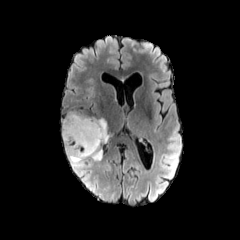
FLAIR magnetic resonance.
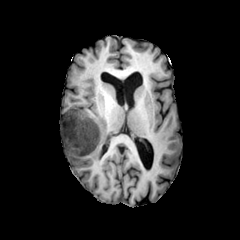
T1-weighted MR.
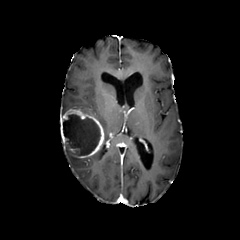
Same slice, post-contrast T1-weighted magnetic resonance.
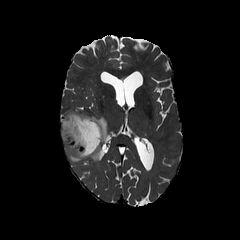
T2-weighted magnetic resonance.
Image size 240x240
Segmented structures:
* enhancing tumor: left=60, top=108, right=104, bottom=158
* necrotic tumor core: left=63, top=113, right=100, bottom=156
* peritumoral edema: left=88, top=147, right=103, bottom=160; left=65, top=149, right=86, bottom=167; left=97, top=117, right=114, bottom=143